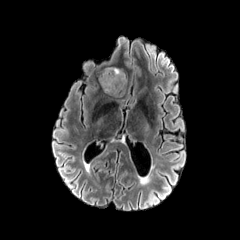
FLAIR magnetic resonance.
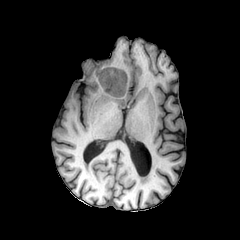
Same slice, T1-weighted magnetic resonance.
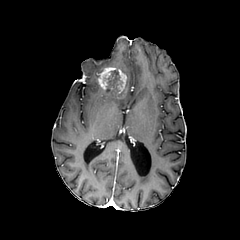
Post-contrast T1-weighted MR image of the same slice.
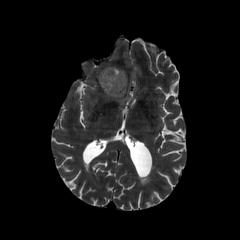
T2-weighted magnetic resonance.
The necrotic tumor core is bounded by left=107, top=70, right=119, bottom=91. The enhancing tumor appears at left=98, top=67, right=126, bottom=94. The peritumoral edema appears at left=105, top=90, right=124, bottom=96.